Slice index 100; Axial view
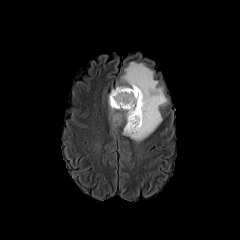
FLAIR magnetic resonance.
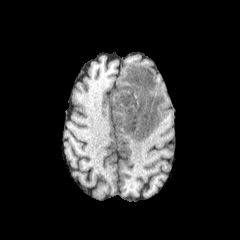
T1-weighted MR.
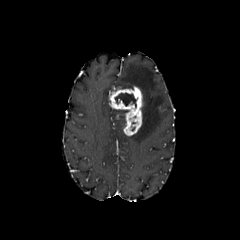
Post-contrast T1-weighted MRI.
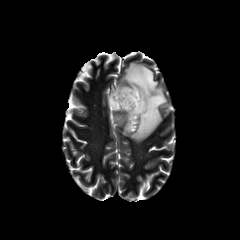
T2-weighted MRI.
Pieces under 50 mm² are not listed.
The 2 largest peritumoral edema regions are bounded by (121,61,168,142), (109,108,124,128). The largest necrotic tumor core region is at (114,93,136,107). The enhancing tumor appears at (109,86,142,135).